Slice 68 of 155, Axial slice
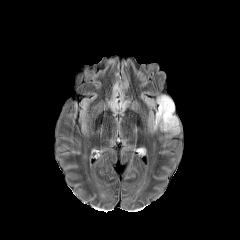
FLAIR MRI.
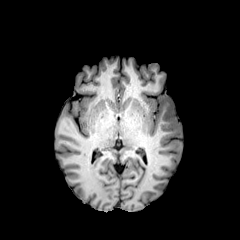
T1-weighted magnetic resonance of the same slice.
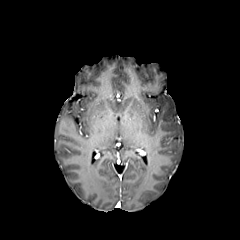
Post-contrast T1-weighted MR.
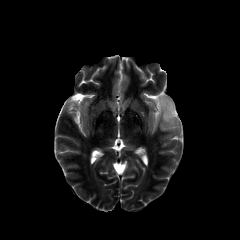
Same slice, T2-weighted MRI.
peritumoral edema = [x1=155, y1=95, x2=179, y2=133]